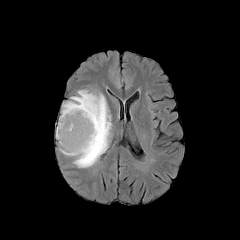
FLAIR MR image.
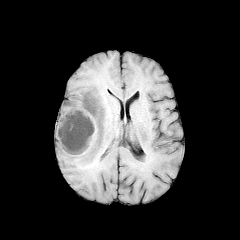
T1-weighted MR.
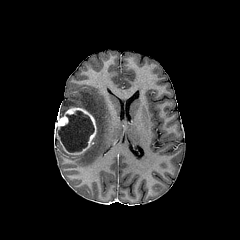
Post-contrast T1-weighted MRI.
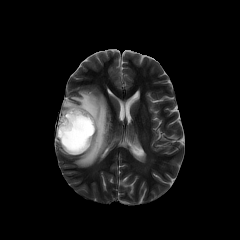
T2-weighted MR image of the same slice.
Head.
peritumoral edema: box=[58, 90, 111, 167] | necrotic tumor core: box=[58, 111, 94, 152] | enhancing tumor: box=[55, 107, 96, 154]